Head | Slice index 92
FLAIR MRI.
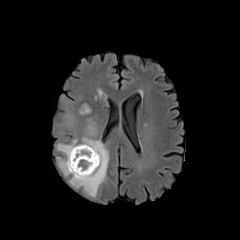
T1-weighted MR image.
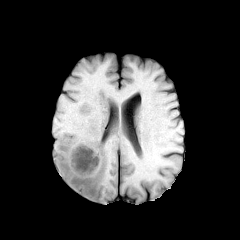
Post-contrast T1-weighted magnetic resonance.
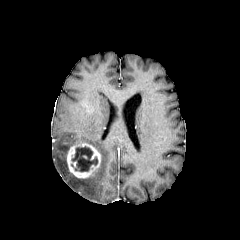
T2-weighted MR.
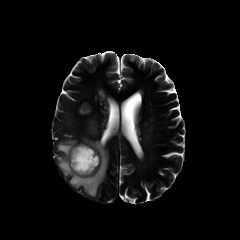
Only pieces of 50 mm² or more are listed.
The largest necrotic tumor core region lies within bbox(71, 146, 97, 171). 3 peritumoral edema regions are located at bbox(56, 137, 108, 197); bbox(79, 104, 91, 114); bbox(86, 120, 96, 135). The largest enhancing tumor region is bounded by bbox(67, 143, 100, 178).